Axial plane. Slice index 112.
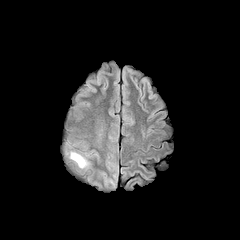
FLAIR MR image.
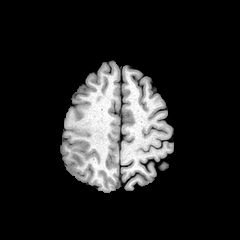
Same slice, T1-weighted magnetic resonance.
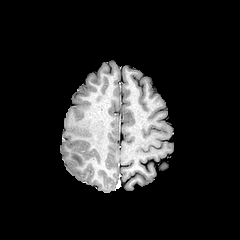
Same slice, post-contrast T1-weighted MRI.
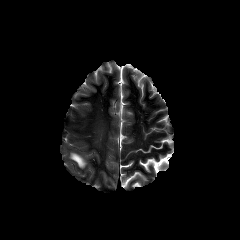
T2-weighted MR of the same slice.
{"peritumoral_edema": ["left=70, top=152, right=86, bottom=167"]}